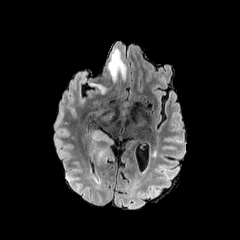
FLAIR MR.
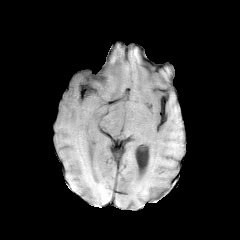
T1-weighted MRI.
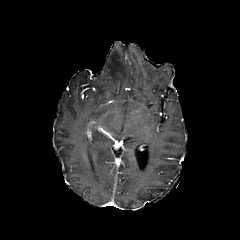
Same slice, post-contrast T1-weighted MR.
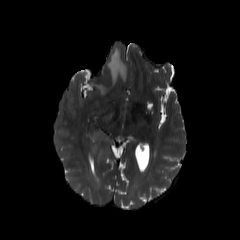
T2-weighted magnetic resonance.
Axial slice.
2 peritumoral edema regions appear at 93 84 105 93, 107 48 126 82.